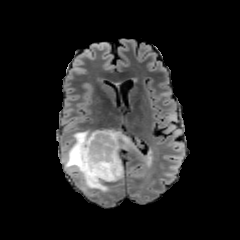
FLAIR MR image.
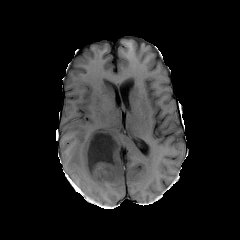
T1-weighted magnetic resonance of the same slice.
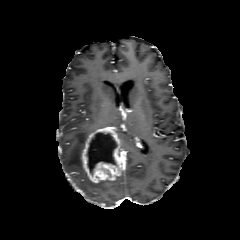
Post-contrast T1-weighted MR of the same slice.
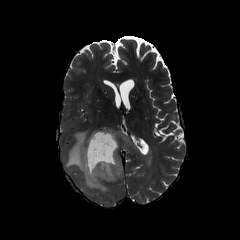
T2-weighted MR image.
240x240 px
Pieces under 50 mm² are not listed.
enhancing tumor: x1=82, y1=126, x2=124, y2=183
peritumoral edema: x1=116, y1=131, x2=129, y2=144; x1=63, y1=130, x2=123, y2=192
necrotic tumor core: x1=87, y1=133, x2=117, y2=174